FLAIR MR.
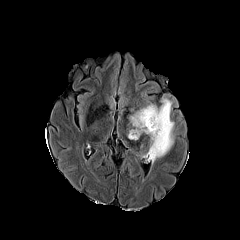
T1-weighted MRI.
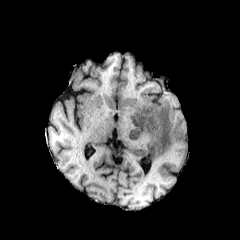
Post-contrast T1-weighted magnetic resonance.
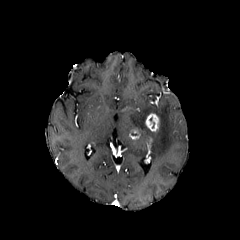
T2-weighted MR image.
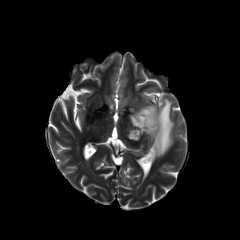
Axial slice.
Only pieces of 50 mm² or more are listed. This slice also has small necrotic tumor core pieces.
The 3 largest enhancing tumor regions are located at (145, 113, 159, 131), (129, 128, 140, 139), (146, 138, 151, 153). The largest peritumoral edema region is bounded by (129, 98, 173, 163).